FLAIR magnetic resonance.
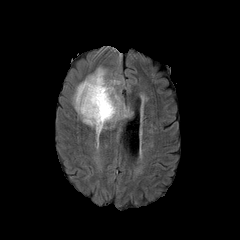
T1-weighted MR image.
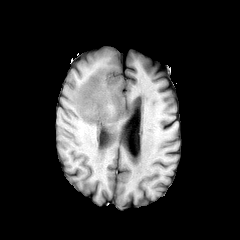
Post-contrast T1-weighted MR image.
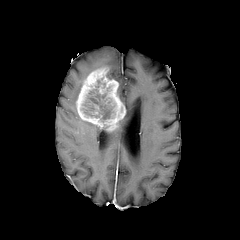
T2-weighted magnetic resonance.
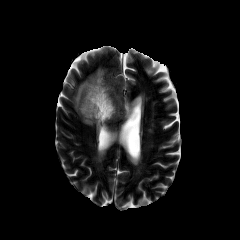
Brain | Axial slice
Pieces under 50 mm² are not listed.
The 2 largest necrotic tumor core regions are located at 84, 101, 94, 116; 88, 89, 112, 119. The enhancing tumor lies within 76, 68, 126, 130. The 2 largest peritumoral edema regions appear at 72, 82, 82, 111; 82, 120, 101, 131.